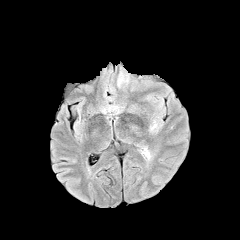
FLAIR MRI.
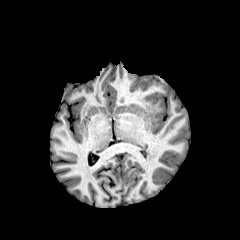
T1-weighted magnetic resonance of the same slice.
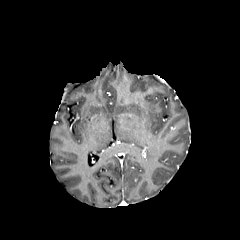
Post-contrast T1-weighted magnetic resonance.
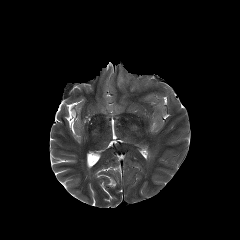
Same slice, T2-weighted MRI.
Image size 240x240; Axial slice
• peritumoral edema: 117:67:165:91